Head. Axial view.
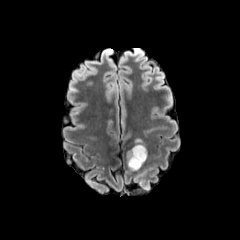
FLAIR magnetic resonance.
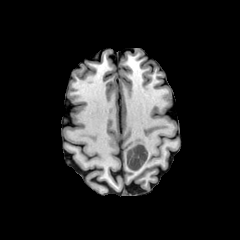
Same slice, T1-weighted MR.
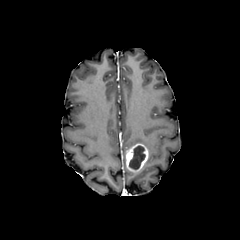
Post-contrast T1-weighted MR image of the same slice.
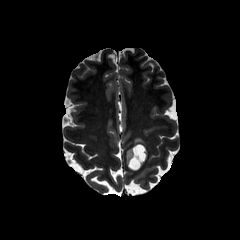
T2-weighted MRI.
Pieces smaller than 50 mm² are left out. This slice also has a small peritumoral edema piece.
The enhancing tumor is at (x1=126, y1=143, x2=148, y2=171). The necrotic tumor core appears at (x1=129, y1=146, x2=145, y2=169).